FLAIR MR.
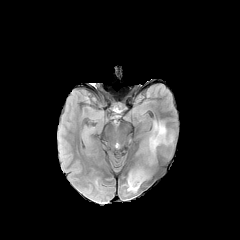
T1-weighted MRI.
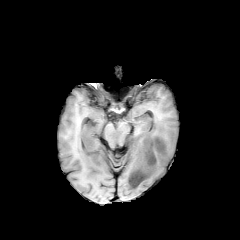
Post-contrast T1-weighted MR image.
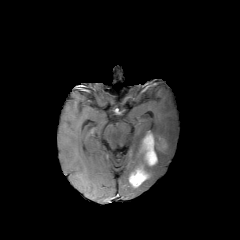
T2-weighted MR.
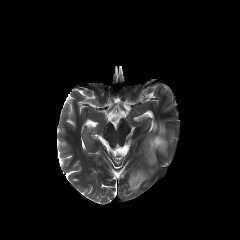
Brain
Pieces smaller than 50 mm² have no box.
peritumoral edema: bounding box box(152, 122, 173, 143); box(127, 178, 139, 192)
enhancing tumor: bounding box box(143, 134, 167, 165); box(129, 168, 148, 187)